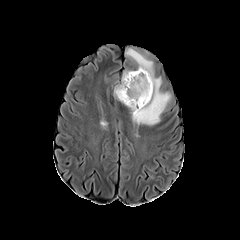
FLAIR MR image.
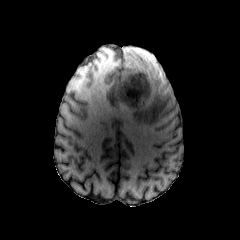
T1-weighted MRI of the same slice.
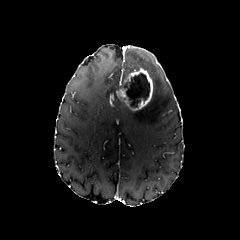
Post-contrast T1-weighted MR of the same slice.
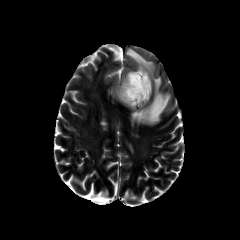
T2-weighted MRI.
Axial view. Head.
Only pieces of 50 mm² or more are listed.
Segmented structures:
• enhancing tumor: <bbox>116, 68, 152, 111</bbox>
• peritumoral edema: <bbox>131, 72, 170, 125</bbox>, <bbox>129, 51, 151, 69</bbox>
• necrotic tumor core: <bbox>122, 73, 149, 107</bbox>